Axial plane | Slice 51/155
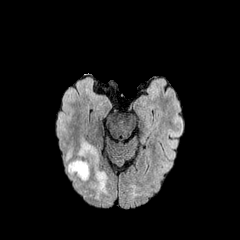
FLAIR MR image.
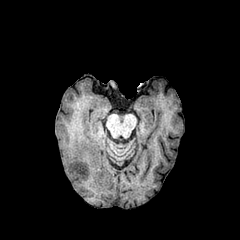
T1-weighted magnetic resonance of the same slice.
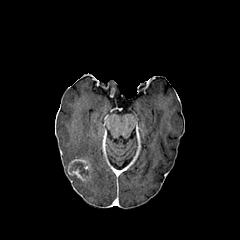
Post-contrast T1-weighted MR of the same slice.
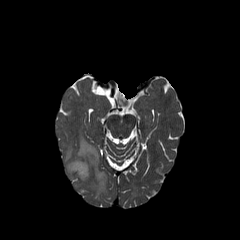
Same slice, T2-weighted MRI.
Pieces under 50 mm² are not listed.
{"enhancing_tumor": [{"x1": 68, "y1": 159, "x2": 89, "y2": 180}], "peritumoral_edema": [{"x1": 68, "y1": 138, "x2": 107, "y2": 197}, {"x1": 65, "y1": 148, "x2": 72, "y2": 172}], "necrotic_tumor_core": [{"x1": 73, "y1": 162, "x2": 85, "y2": 175}]}